240x240 px; Slice 115 of 155; Axial slice
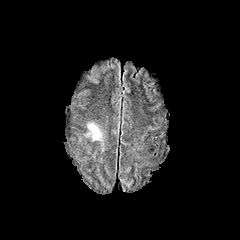
FLAIR MRI.
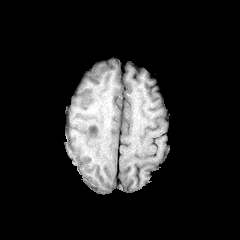
T1-weighted MR.
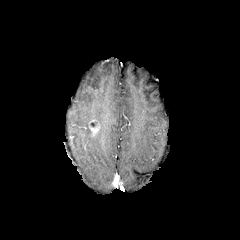
Same slice, post-contrast T1-weighted magnetic resonance.
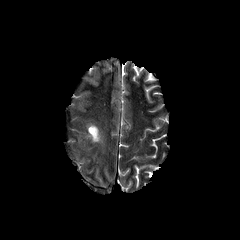
Same slice, T2-weighted MR image.
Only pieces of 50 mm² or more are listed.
The enhancing tumor lies within region(90, 127, 98, 135). The largest peritumoral edema region appears at region(91, 131, 101, 140).